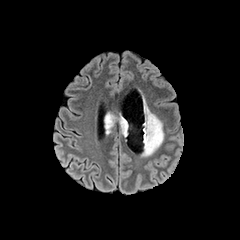
FLAIR MR.
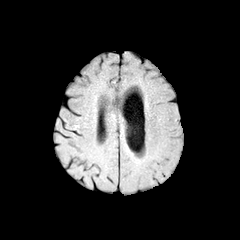
T1-weighted MR of the same slice.
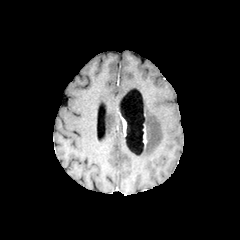
Post-contrast T1-weighted MR of the same slice.
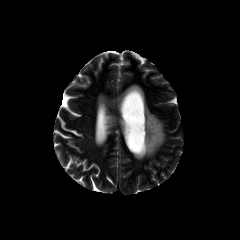
T2-weighted MR image.
Head, Axial plane
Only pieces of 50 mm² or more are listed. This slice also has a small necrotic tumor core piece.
enhancing tumor: l=121, t=117, r=126, b=135 | peritumoral edema: l=104, t=113, r=116, b=134; l=142, t=100, r=164, b=156